Axial slice; Slice 80/155
FLAIR MRI.
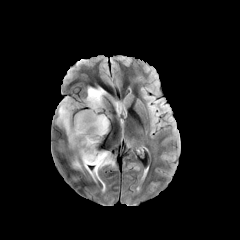
T1-weighted MRI.
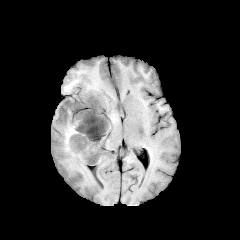
Post-contrast T1-weighted MRI.
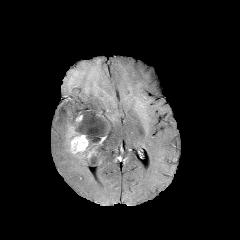
T2-weighted magnetic resonance.
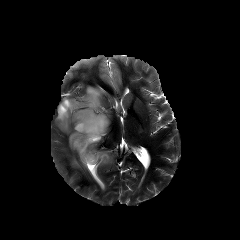
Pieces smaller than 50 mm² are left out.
{
  "peritumoral_edema": [
    "<bbox>55, 86, 114, 179</bbox>"
  ],
  "enhancing_tumor": [
    "<bbox>71, 134, 88, 152</bbox>"
  ]
}